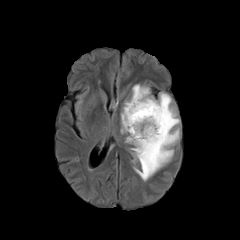
FLAIR MR.
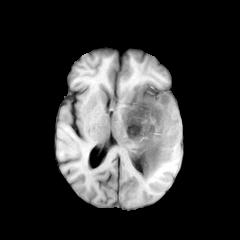
T1-weighted magnetic resonance.
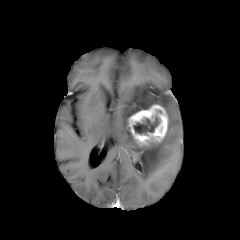
Same slice, post-contrast T1-weighted MR image.
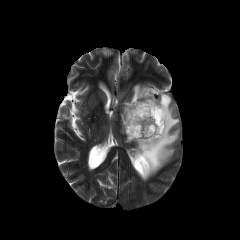
T2-weighted MRI.
Head. Image size 240x240. Axial plane.
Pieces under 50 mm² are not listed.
The largest enhancing tumor region is at box(127, 104, 168, 147). The necrotic tumor core lies within box(133, 117, 159, 133). The peritumoral edema is located at box(121, 84, 179, 180).